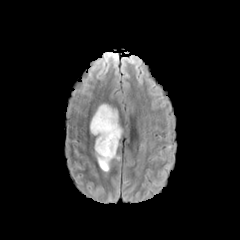
FLAIR magnetic resonance.
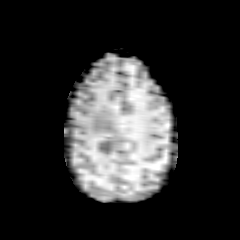
Same slice, T1-weighted MRI.
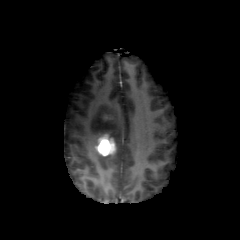
Same slice, post-contrast T1-weighted magnetic resonance.
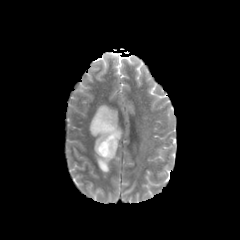
T2-weighted magnetic resonance.
Head
The peritumoral edema lies within rect(90, 104, 121, 171). The enhancing tumor is located at rect(96, 134, 116, 155).